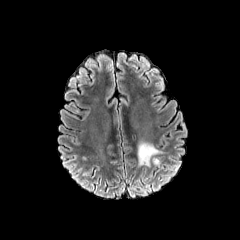
FLAIR MR image.
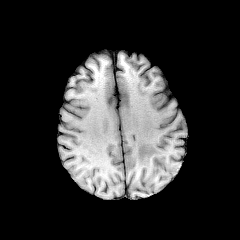
T1-weighted MRI.
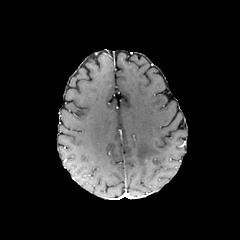
Post-contrast T1-weighted MRI.
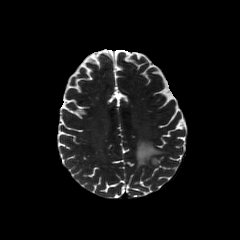
T2-weighted magnetic resonance of the same slice.
Brain
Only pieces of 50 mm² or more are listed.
Findings:
- peritumoral edema: x1=137, y1=142, x2=161, y2=165